Brain; Axial slice; Slice 78 of 155
FLAIR MRI.
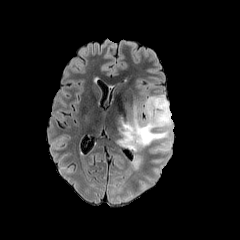
T1-weighted MR.
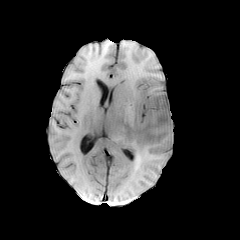
Post-contrast T1-weighted magnetic resonance.
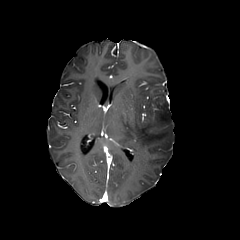
T2-weighted MR image.
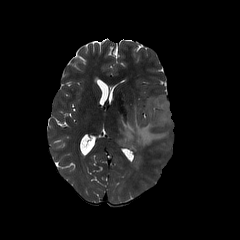
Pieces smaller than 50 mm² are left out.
The 2 largest peritumoral edema regions appear at (left=132, top=156, right=142, bottom=169), (left=116, top=94, right=172, bottom=152).